FLAIR magnetic resonance.
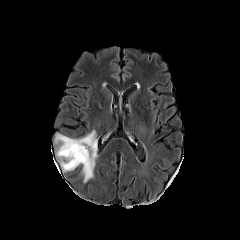
T1-weighted magnetic resonance.
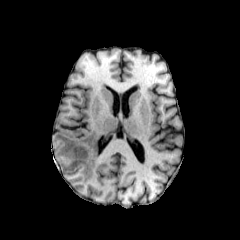
Post-contrast T1-weighted MR image.
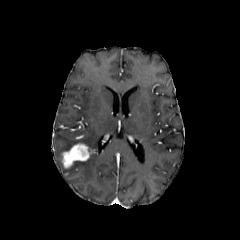
T2-weighted MR image.
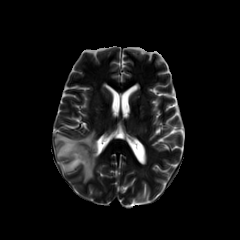
Brain
The enhancing tumor lies within rect(62, 143, 94, 168). The peritumoral edema is located at rect(54, 130, 97, 182).